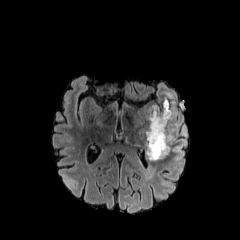
FLAIR MRI.
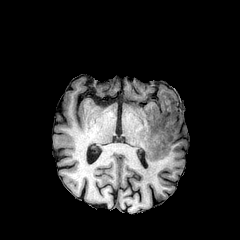
T1-weighted MRI of the same slice.
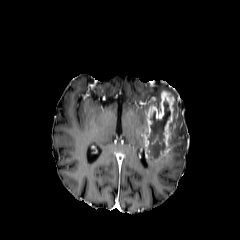
Post-contrast T1-weighted magnetic resonance.
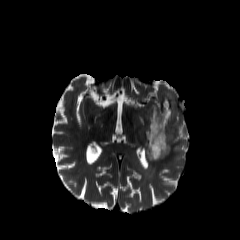
Same slice, T2-weighted MR.
Brain
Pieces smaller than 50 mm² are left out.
The largest enhancing tumor region is bounded by [x1=142, y1=90, x2=177, y2=161]. The largest peritumoral edema region is at [x1=146, y1=83, x2=188, y2=171]. The largest necrotic tumor core region appears at [x1=148, y1=101, x2=170, y2=158].